FLAIR MRI.
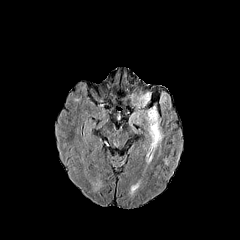
T1-weighted magnetic resonance.
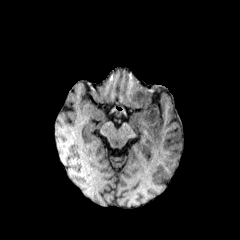
Post-contrast T1-weighted MR.
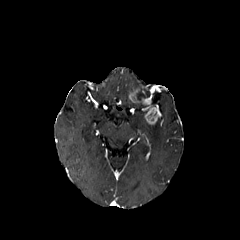
T2-weighted MRI.
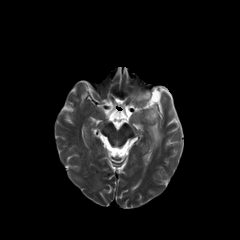
Axial slice, 240x240 px
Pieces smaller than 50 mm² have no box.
necrotic_tumor_core:
  - 136 92 150 100
peritumoral_edema:
  - 148 118 162 149
  - 133 103 155 107
enhancing_tumor:
  - 129 89 151 104
  - 144 106 159 124